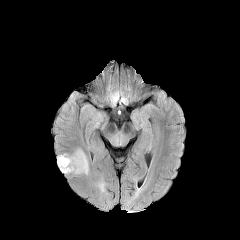
FLAIR MR.
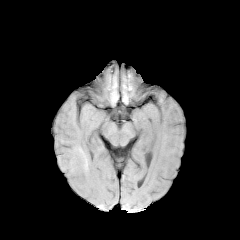
T1-weighted MRI.
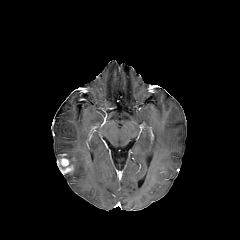
Post-contrast T1-weighted magnetic resonance.
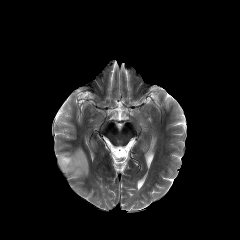
Same slice, T2-weighted magnetic resonance.
240x240, Axial plane
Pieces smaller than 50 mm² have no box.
The largest peritumoral edema region is located at (63, 148, 88, 175). The enhancing tumor lies within (57, 154, 73, 173).